Image covers 240 mm x 240 mm. Slice 39 of 155.
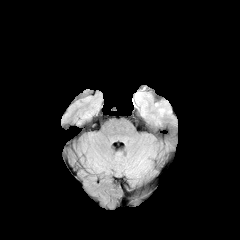
FLAIR MR.
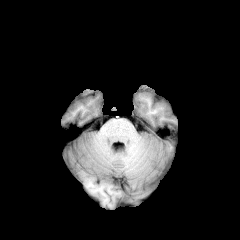
Same slice, T1-weighted MR.
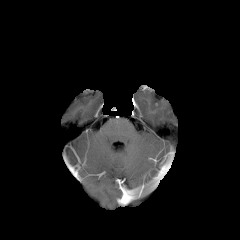
Post-contrast T1-weighted MRI.
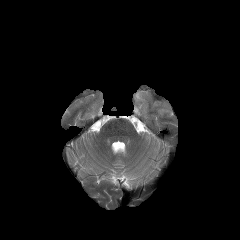
T2-weighted magnetic resonance.
peritumoral edema: left=155, top=100, right=171, bottom=116; left=134, top=86, right=151, bottom=116